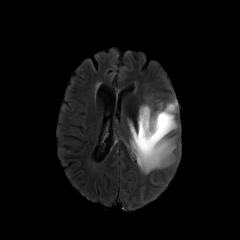
FLAIR magnetic resonance.
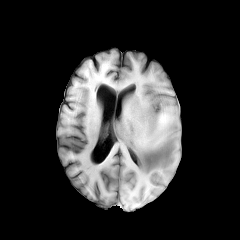
Same slice, T1-weighted MR.
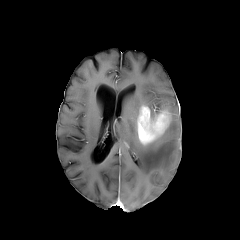
Same slice, post-contrast T1-weighted MRI.
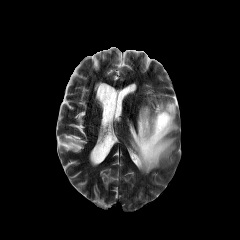
T2-weighted MRI.
Head
• enhancing tumor: <box>137,106,170,144</box>
• peritumoral edema: <box>128,98,178,173</box>